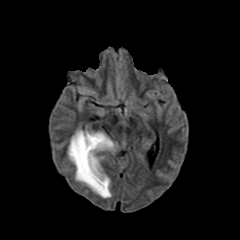
FLAIR magnetic resonance.
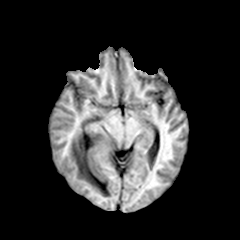
T1-weighted MRI of the same slice.
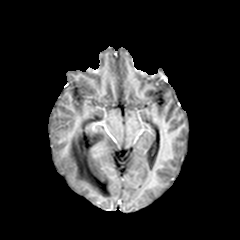
Post-contrast T1-weighted MRI.
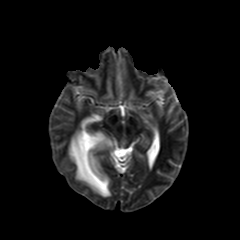
T2-weighted MRI of the same slice.
Axial slice
The peritumoral edema is located at [68, 129, 114, 197]. The enhancing tumor is bounded by [92, 143, 101, 150].